Axial plane; Brain
FLAIR MRI.
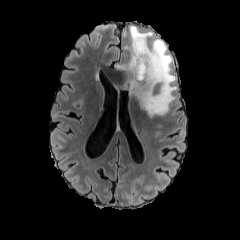
T1-weighted MR image.
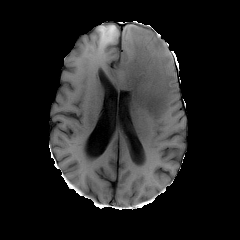
Post-contrast T1-weighted magnetic resonance.
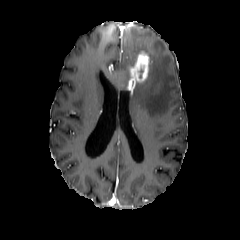
T2-weighted magnetic resonance.
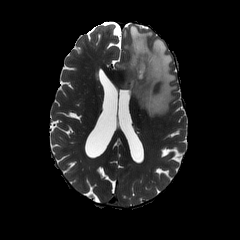
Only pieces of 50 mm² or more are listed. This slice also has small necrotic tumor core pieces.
peritumoral edema — 116 25 177 115
enhancing tumor — 127 50 150 92